Axial slice | Image size 240x240
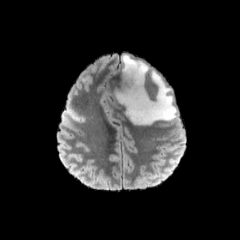
FLAIR MR.
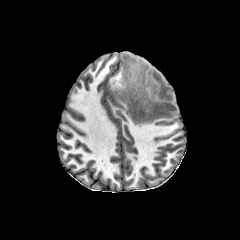
T1-weighted MRI of the same slice.
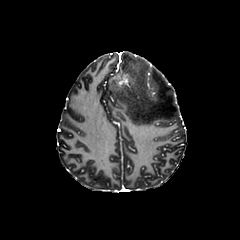
Post-contrast T1-weighted MRI of the same slice.
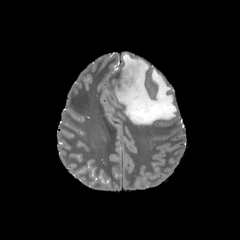
Same slice, T2-weighted MRI.
Annotated regions:
* peritumoral edema: 115, 54, 176, 124
* enhancing tumor: 119, 74, 132, 86